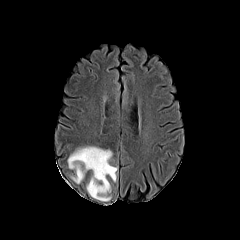
FLAIR magnetic resonance.
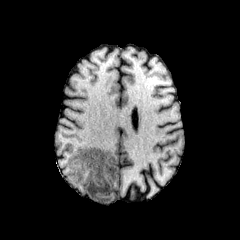
Same slice, T1-weighted MR.
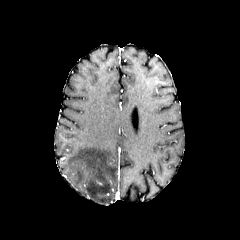
Post-contrast T1-weighted MRI.
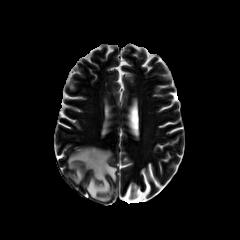
T2-weighted MR image.
240x240 px | Axial plane
peritumoral edema: bounding box 67, 146, 117, 201